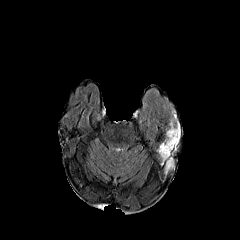
FLAIR MR image.
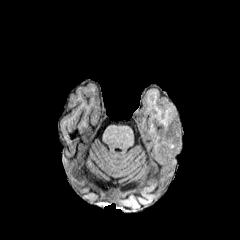
T1-weighted MR.
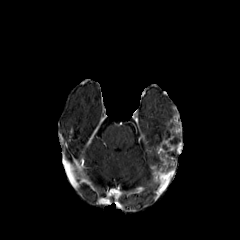
Post-contrast T1-weighted MR image.
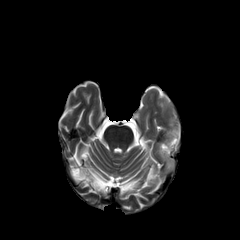
T2-weighted MR image of the same slice.
Brain; 240x240
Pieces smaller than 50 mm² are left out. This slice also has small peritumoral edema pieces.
enhancing tumor: bounding box [156, 113, 182, 173]
necrotic tumor core: bounding box [170, 137, 180, 144]